FLAIR magnetic resonance.
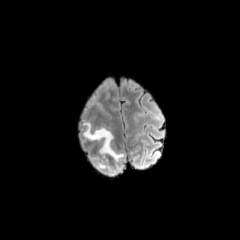
T1-weighted MR.
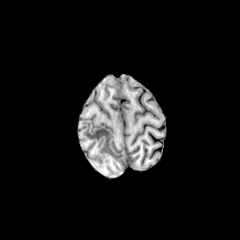
Post-contrast T1-weighted MR.
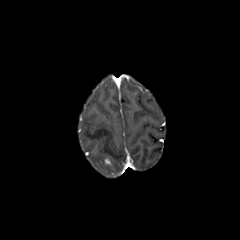
T2-weighted MR image.
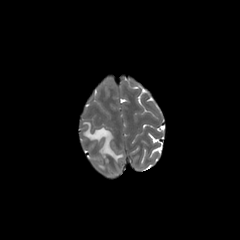
Brain
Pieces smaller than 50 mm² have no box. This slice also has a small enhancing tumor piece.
peritumoral edema — box=[83, 122, 123, 174]